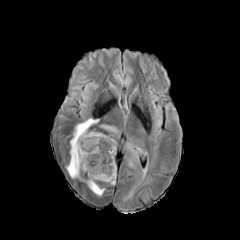
FLAIR MRI.
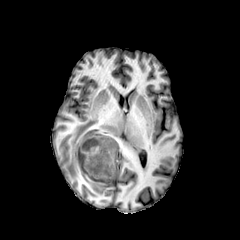
T1-weighted MR.
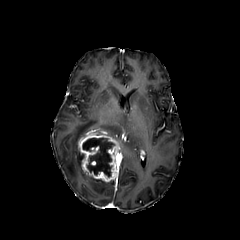
Post-contrast T1-weighted MR of the same slice.
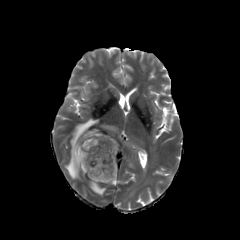
T2-weighted MR of the same slice.
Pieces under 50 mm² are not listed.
necrotic tumor core — x1=83, y1=138, x2=113, y2=176
enhancing tumor — x1=78, y1=133, x2=119, y2=182
peritumoral edema — x1=66, y1=118, x2=98, y2=178; x1=87, y1=177, x2=105, y2=195; x1=101, y1=124, x2=118, y2=133